Slice index 61, Image width 240 mm
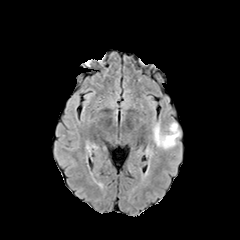
FLAIR MR image.
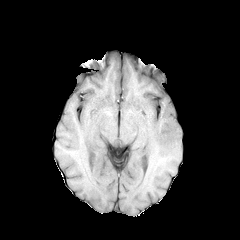
T1-weighted MR image of the same slice.
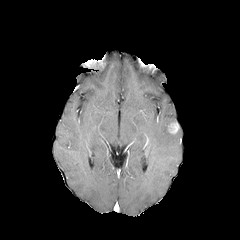
Post-contrast T1-weighted magnetic resonance of the same slice.
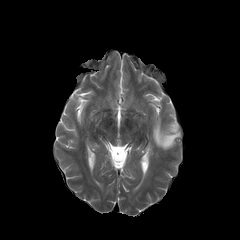
Same slice, T2-weighted MR.
<segmentation>
  <enhancing_tumor>(x1=168, y1=122, x2=179, y2=134)</enhancing_tumor>
  <peritumoral_edema>(x1=152, y1=120, x2=180, y2=149)</peritumoral_edema>
</segmentation>